Image width 240 mm; Axial plane
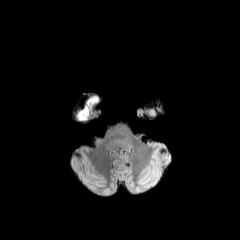
FLAIR MRI.
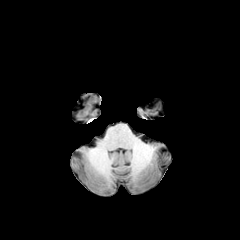
T1-weighted MR.
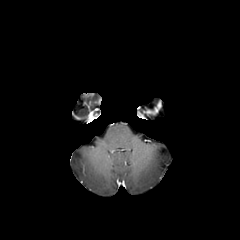
Post-contrast T1-weighted MR.
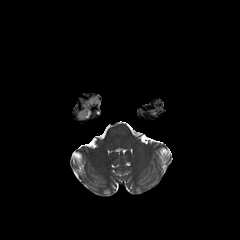
T2-weighted MR of the same slice.
<segmentation>
  <peritumoral_edema>[x1=77, y1=97, x2=97, y2=120]</peritumoral_edema>
</segmentation>